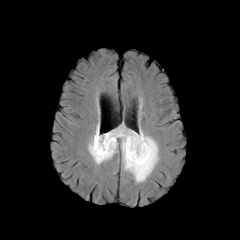
FLAIR magnetic resonance.
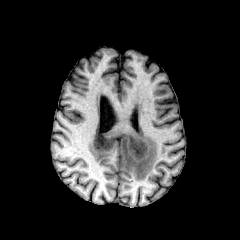
Same slice, T1-weighted MRI.
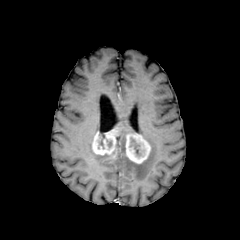
Same slice, post-contrast T1-weighted MRI.
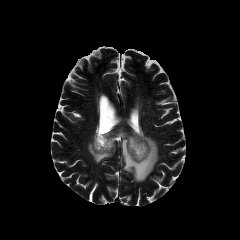
Same slice, T2-weighted MR image.
Axial view; Brain
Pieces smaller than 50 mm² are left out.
The largest necrotic tumor core region lies within 130:138:140:156. 2 enhancing tumor regions are bounded by 125:133:150:163, 92:129:120:155. 3 peritumoral edema regions are bounded by 88:125:117:164, 117:123:135:133, 118:128:158:182.